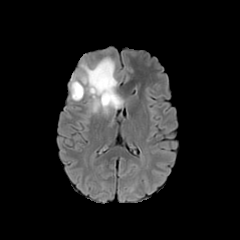
FLAIR MRI.
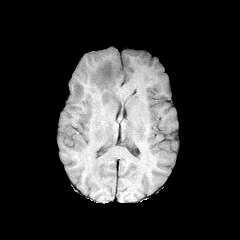
Same slice, T1-weighted MR image.
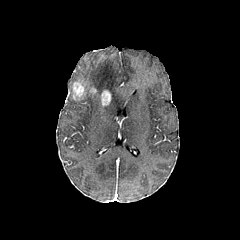
Post-contrast T1-weighted MR.
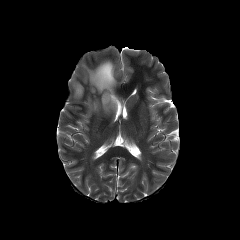
T2-weighted magnetic resonance.
Axial plane. Head.
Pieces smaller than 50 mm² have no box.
enhancing tumor: bounding box rect(101, 90, 110, 105); rect(72, 82, 83, 99)
peritumoral edema: bounding box rect(82, 58, 116, 111)